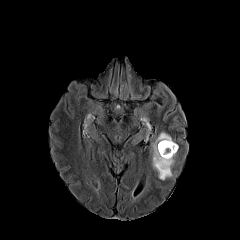
FLAIR MRI.
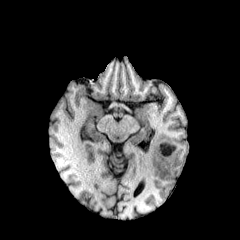
T1-weighted MR image.
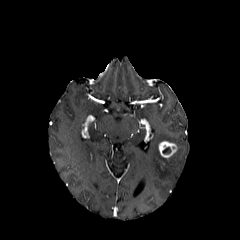
Post-contrast T1-weighted MR of the same slice.
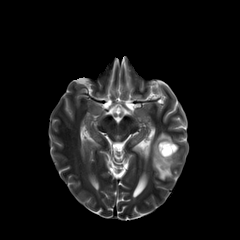
T2-weighted MR image.
Axial view.
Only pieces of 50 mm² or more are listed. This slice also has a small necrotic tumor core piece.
enhancing tumor — box(158, 141, 177, 158)
peritumoral edema — box(151, 131, 176, 180)